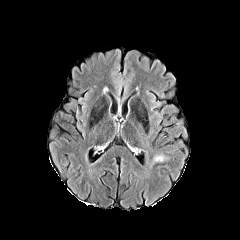
FLAIR MR image.
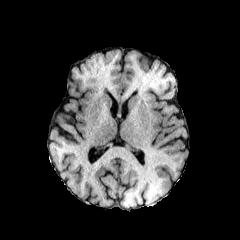
T1-weighted magnetic resonance of the same slice.
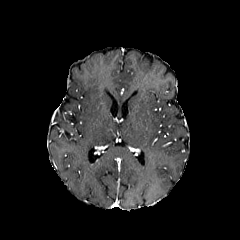
Post-contrast T1-weighted MR.
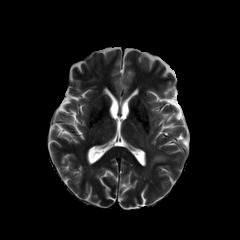
Same slice, T2-weighted MRI.
Axial slice.
{"peritumoral_edema": ["149,155,166,167"]}